Head
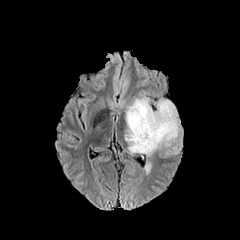
FLAIR MR image.
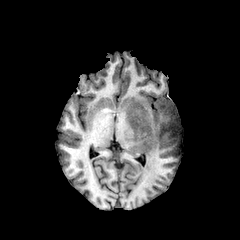
Same slice, T1-weighted magnetic resonance.
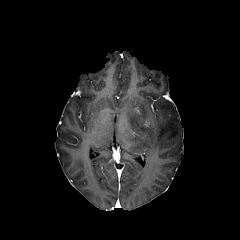
Post-contrast T1-weighted magnetic resonance of the same slice.
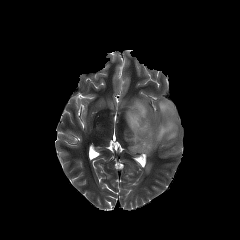
T2-weighted MR.
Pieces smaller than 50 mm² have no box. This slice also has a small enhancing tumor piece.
peritumoral_edema:
  - x1=125 y1=97 x2=179 y2=155